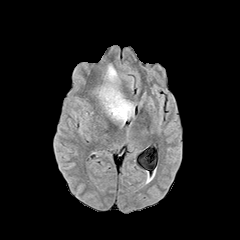
FLAIR MR.
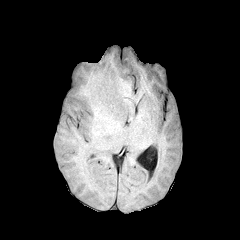
T1-weighted magnetic resonance of the same slice.
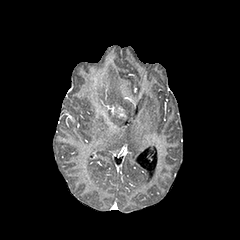
Same slice, post-contrast T1-weighted MRI.
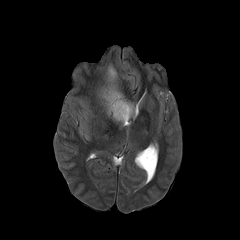
Same slice, T2-weighted MRI.
Axial slice
enhancing tumor: {"x1": 107, "y1": 106, "x2": 125, "y2": 116} | peritumoral edema: {"x1": 97, "y1": 65, "x2": 134, "y2": 123}